Axial plane, Slice index 111
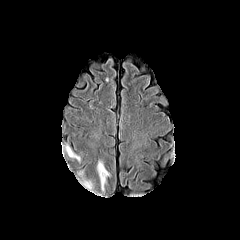
FLAIR MR image.
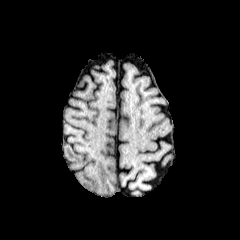
Same slice, T1-weighted magnetic resonance.
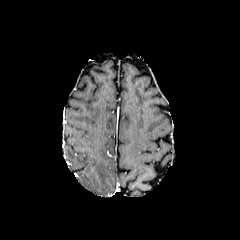
Same slice, post-contrast T1-weighted MR image.
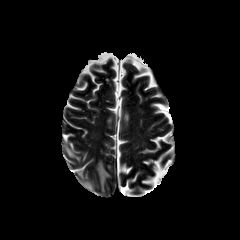
T2-weighted magnetic resonance.
peritumoral_edema:
  - {"x1": 97, "y1": 160, "x2": 109, "y2": 191}
  - {"x1": 66, "y1": 146, "x2": 80, "y2": 160}
  - {"x1": 83, "y1": 182, "x2": 92, "y2": 190}